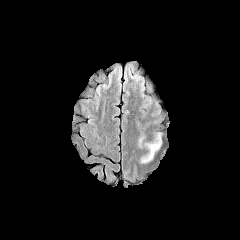
FLAIR MRI.
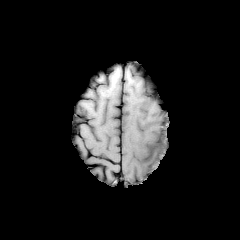
T1-weighted MR.
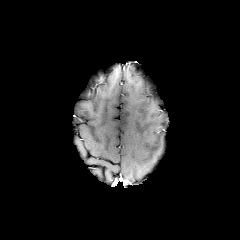
Same slice, post-contrast T1-weighted MR image.
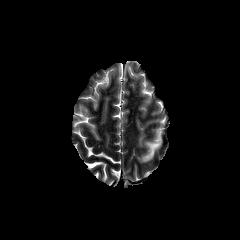
T2-weighted MRI.
Head
peritumoral_edema:
  - bbox(139, 132, 161, 162)